Slice index 132. Axial view. Image size 240x240.
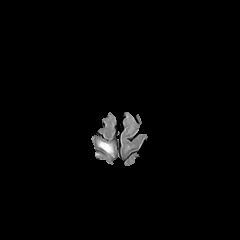
FLAIR MRI.
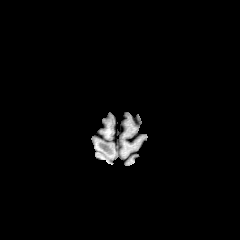
Same slice, T1-weighted MRI.
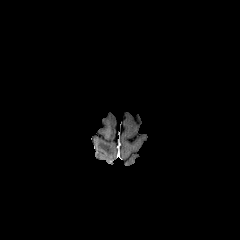
Post-contrast T1-weighted MR image.
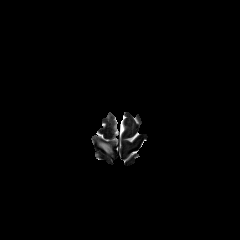
T2-weighted MR image.
- peritumoral edema: <box>97,140,113,155</box>